240x240 px; Slice 121/155; Axial plane
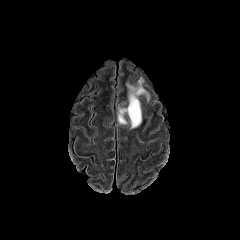
FLAIR MRI.
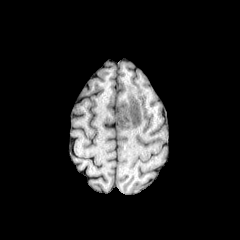
T1-weighted MR of the same slice.
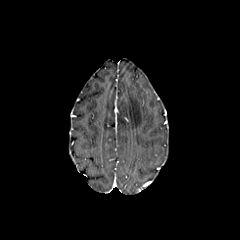
Post-contrast T1-weighted MRI.
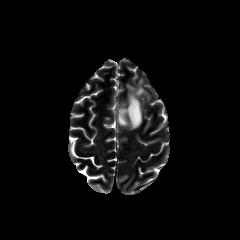
T2-weighted MR image.
The peritumoral edema is at (x1=118, y1=78, x2=149, y2=128).